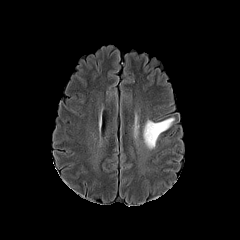
FLAIR magnetic resonance.
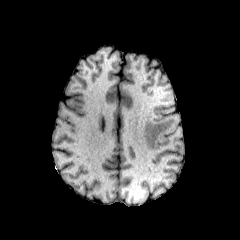
Same slice, T1-weighted MR image.
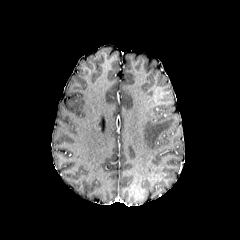
Same slice, post-contrast T1-weighted MR image.
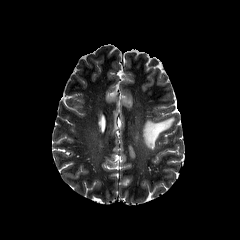
Same slice, T2-weighted MR.
Brain | Image size 240x240
<segmentation>
  <peritumoral_edema>{"x1": 143, "y1": 118, "x2": 174, "y2": 149}</peritumoral_edema>
</segmentation>